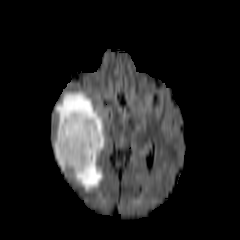
FLAIR MRI.
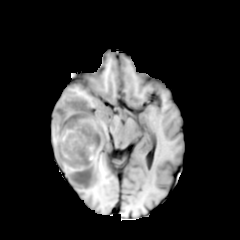
Same slice, T1-weighted magnetic resonance.
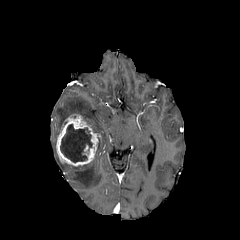
Post-contrast T1-weighted MR image.
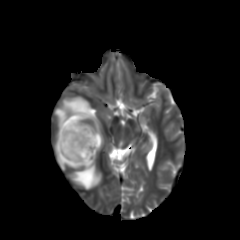
T2-weighted magnetic resonance.
Head | Axial view
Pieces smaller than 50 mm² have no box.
The enhancing tumor appears at <bbox>56, 113, 100, 166</bbox>. The largest necrotic tumor core region appears at <bbox>60, 124, 92, 162</bbox>. 3 peritumoral edema regions are located at <bbox>74, 152, 104, 193</bbox>, <bbox>54, 91, 103, 148</bbox>, <bbox>54, 139, 64, 171</bbox>.